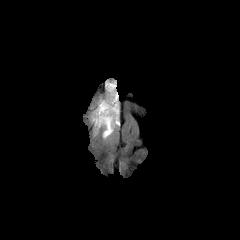
FLAIR MR.
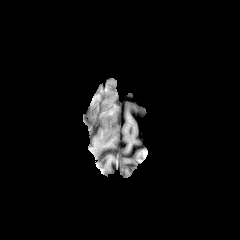
T1-weighted magnetic resonance.
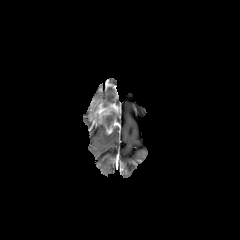
Same slice, post-contrast T1-weighted magnetic resonance.
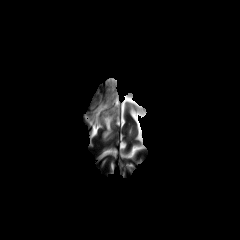
T2-weighted MR image.
Axial slice; Brain
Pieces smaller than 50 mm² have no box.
necrotic tumor core: rect(103, 111, 117, 127); rect(102, 87, 115, 106) | enhancing tumor: rect(89, 81, 119, 134) | peritumoral edema: rect(102, 129, 113, 139)